FLAIR MRI.
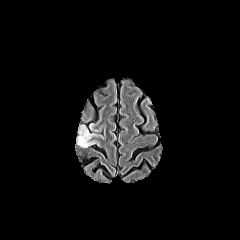
T1-weighted MR image.
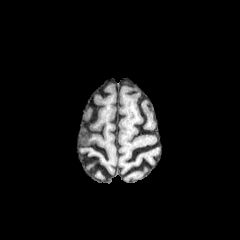
Post-contrast T1-weighted MRI.
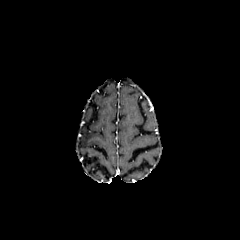
T2-weighted magnetic resonance.
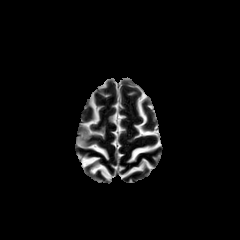
Image size 240x240; Head
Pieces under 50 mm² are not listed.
peritumoral edema: bbox=[79, 126, 95, 147]